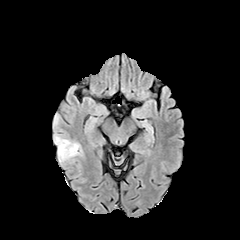
FLAIR MR.
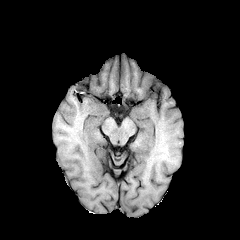
T1-weighted MR image.
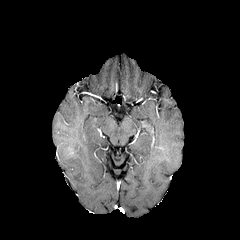
Same slice, post-contrast T1-weighted MRI.
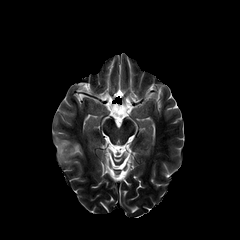
T2-weighted MR of the same slice.
Head; Image size 240x240
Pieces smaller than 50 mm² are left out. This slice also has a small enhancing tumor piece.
<segmentation>
  <peritumoral_edema>box=[54, 136, 80, 161]</peritumoral_edema>
</segmentation>